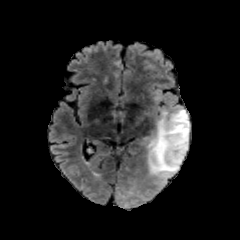
FLAIR magnetic resonance.
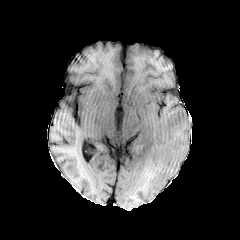
T1-weighted MR image.
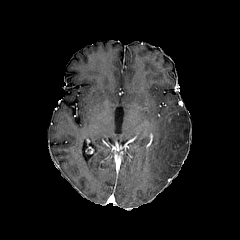
Post-contrast T1-weighted MRI.
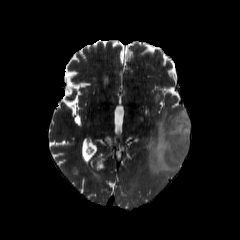
T2-weighted MRI.
Axial view; Image size 240x240
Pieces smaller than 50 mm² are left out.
The largest peritumoral edema region is at {"x1": 146, "y1": 109, "x2": 190, "y2": 181}.